Slice index 115. Head.
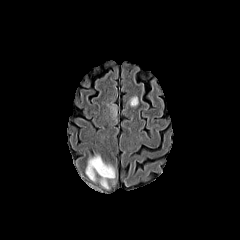
FLAIR MRI.
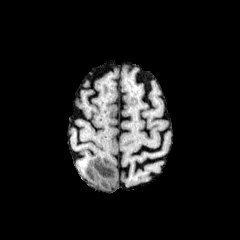
T1-weighted MR.
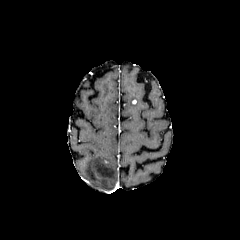
Post-contrast T1-weighted MR image.
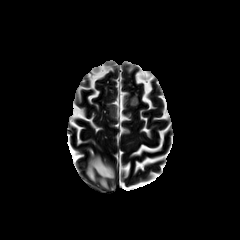
Same slice, T2-weighted MRI.
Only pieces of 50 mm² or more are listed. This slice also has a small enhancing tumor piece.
peritumoral edema: box(85, 151, 117, 190); box(127, 95, 139, 108); box(106, 100, 117, 122)